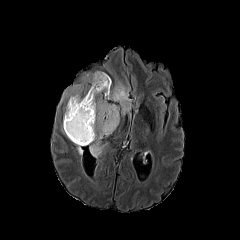
FLAIR MR image.
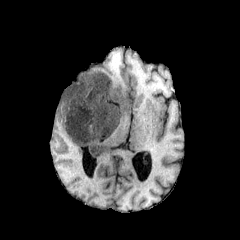
Same slice, T1-weighted MRI.
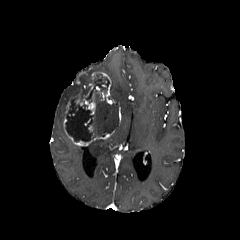
Post-contrast T1-weighted MR image.
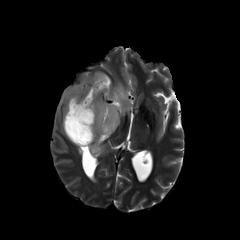
T2-weighted MR image.
Head; Axial plane
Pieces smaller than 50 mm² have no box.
The largest enhancing tumor region appears at x1=63 y1=72 x2=111 y2=146. The 4 largest peritumoral edema regions are located at x1=59 y1=73 x2=91 y2=105, x1=96 y1=100 x2=118 y2=138, x1=108 y1=78 x2=131 y2=115, x1=89 y1=138 x2=104 y2=157. The largest necrotic tumor core region lies within x1=65 y1=98 x2=92 y2=141.